FLAIR MR.
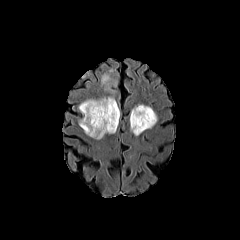
T1-weighted MR image.
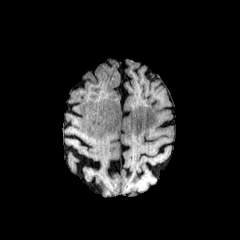
Post-contrast T1-weighted MRI.
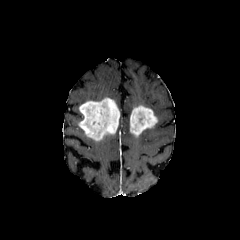
T2-weighted MR.
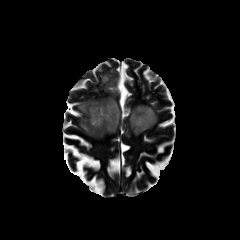
Brain
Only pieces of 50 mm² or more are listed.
peritumoral_edema:
  - [x1=101, y1=73, x2=117, y2=93]
  - [x1=78, y1=98, x2=103, y2=109]
enhancing_tumor:
  - [x1=130, y1=105, x2=157, y2=136]
  - [x1=79, y1=97, x2=119, y2=140]